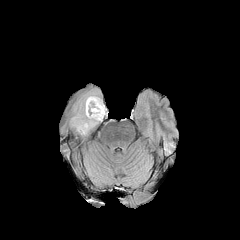
FLAIR magnetic resonance.
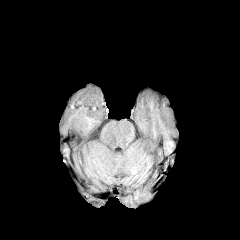
T1-weighted MR image of the same slice.
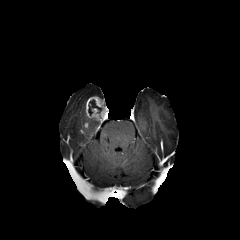
Post-contrast T1-weighted magnetic resonance.
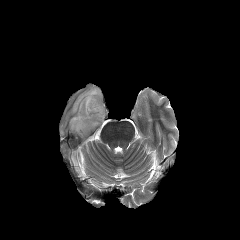
T2-weighted MR.
Axial view | 240x240 px | Head
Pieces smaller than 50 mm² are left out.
<segmentation>
  <necrotic_tumor_core>{"x1": 88, "y1": 100, "x2": 101, "y2": 115}</necrotic_tumor_core>
  <peritumoral_edema>{"x1": 70, "y1": 89, "x2": 100, "y2": 135}</peritumoral_edema>
  <enhancing_tumor>{"x1": 85, "y1": 96, "x2": 108, "y2": 121}</enhancing_tumor>
</segmentation>